FLAIR MR image.
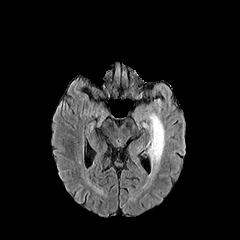
T1-weighted magnetic resonance.
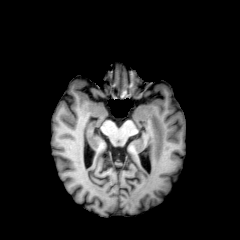
Post-contrast T1-weighted MRI.
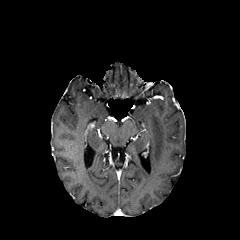
T2-weighted MRI.
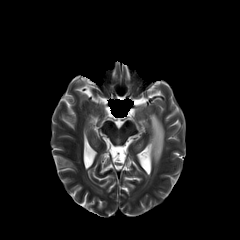
Axial view, 240x240, Head
The peritumoral edema lies within [142,113,164,189].